Slice 84 of 155
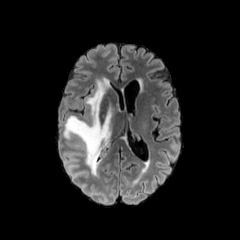
FLAIR magnetic resonance.
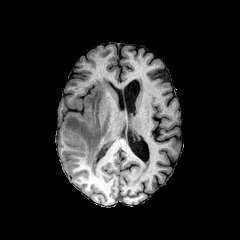
T1-weighted MR image of the same slice.
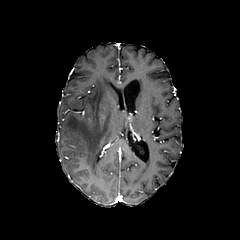
Post-contrast T1-weighted MR of the same slice.
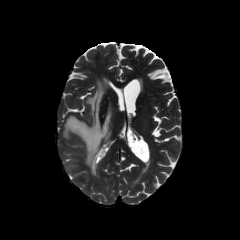
T2-weighted MRI of the same slice.
• peritumoral edema: 63 77 117 176